FLAIR MR image.
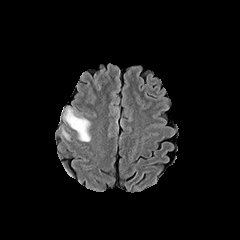
T1-weighted MRI.
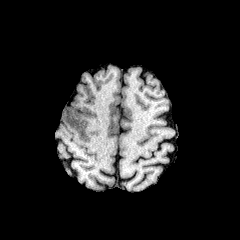
Post-contrast T1-weighted MRI.
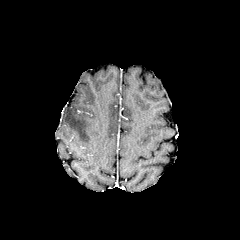
T2-weighted magnetic resonance.
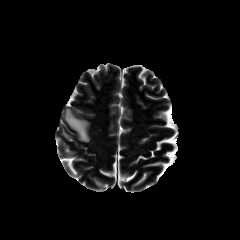
Axial view
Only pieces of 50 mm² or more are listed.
The largest peritumoral edema region is bounded by [63, 108, 90, 142].